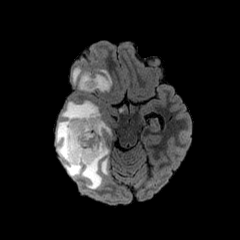
FLAIR MR image.
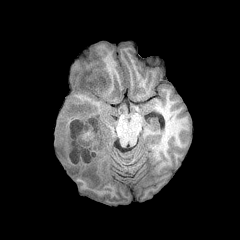
T1-weighted magnetic resonance.
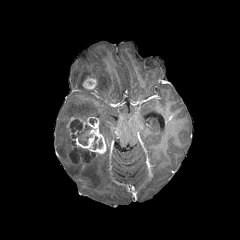
Same slice, post-contrast T1-weighted MR image.
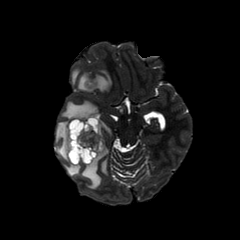
T2-weighted MR.
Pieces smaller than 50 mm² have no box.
Annotated regions:
* enhancing tumor: x1=67 y1=116 x2=106 y2=164, x1=82 y1=77 x2=97 y2=89
* necrotic tumor core: x1=69 y1=147 x2=95 y2=163, x1=93 y1=136 x2=102 y2=149, x1=70 y1=119 x2=92 y2=145
* peritumoral edema: x1=72 y1=67 x2=80 y2=84, x1=78 y1=73 x2=94 y2=91, x1=91 y1=69 x2=111 y2=91, x1=56 y1=100 x2=111 y2=189